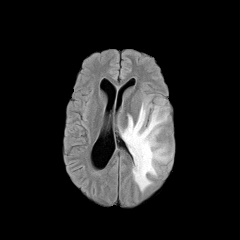
FLAIR MRI.
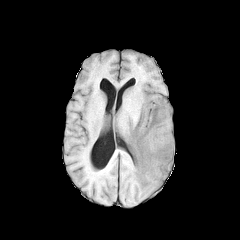
T1-weighted MR image.
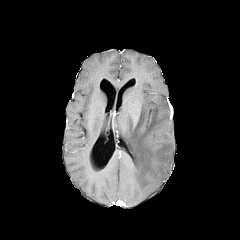
Same slice, post-contrast T1-weighted MR image.
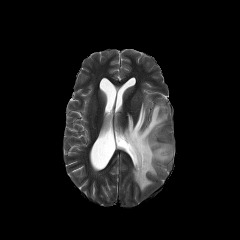
T2-weighted magnetic resonance.
Axial view
peritumoral_edema:
  - box=[120, 99, 172, 191]